FLAIR MR.
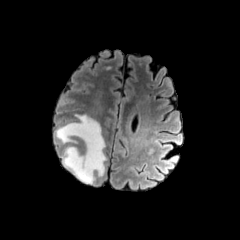
T1-weighted magnetic resonance.
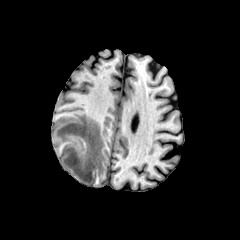
Post-contrast T1-weighted MRI.
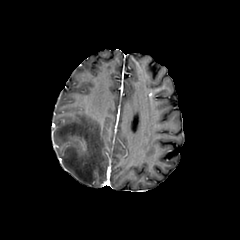
T2-weighted MRI.
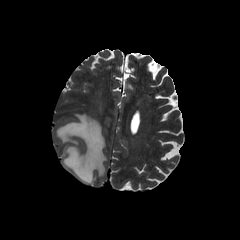
Axial view | Image size 240x240
The peritumoral edema is bounded by x1=56 y1=114 x2=106 y2=183.